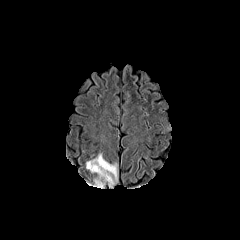
FLAIR MR.
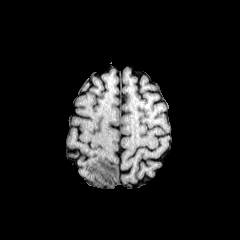
Same slice, T1-weighted magnetic resonance.
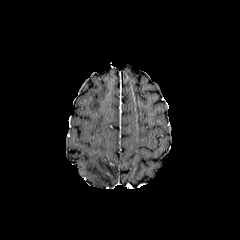
Post-contrast T1-weighted MR image of the same slice.
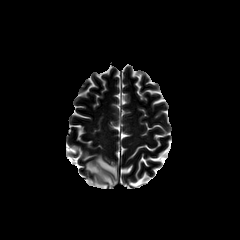
Same slice, T2-weighted MR.
Image size 240x240; Axial plane; Brain
Segmented structures:
* peritumoral edema: (left=86, top=154, right=117, bottom=188)